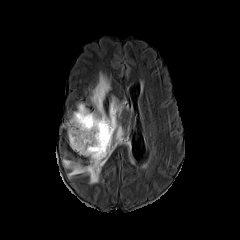
FLAIR MRI.
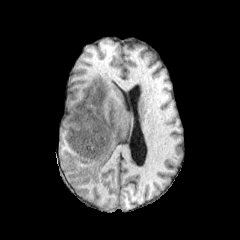
T1-weighted MRI.
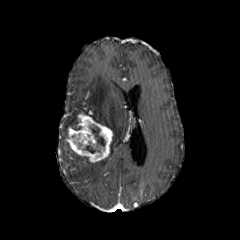
Post-contrast T1-weighted MRI.
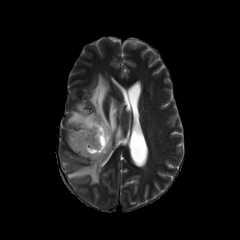
Same slice, T2-weighted magnetic resonance.
Axial view
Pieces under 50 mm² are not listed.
necrotic tumor core: bbox=[85, 145, 95, 153]; bbox=[91, 127, 105, 146] | peritumoral edema: bbox=[63, 73, 123, 184]; bbox=[66, 103, 89, 128] | enhancing tumor: bbox=[67, 111, 112, 162]